Slice index 67. Image width 240 mm. Image size 240x240.
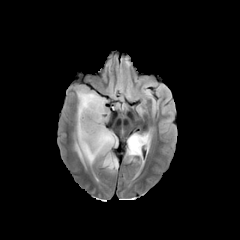
FLAIR MRI.
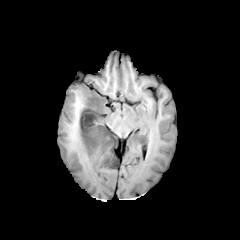
T1-weighted magnetic resonance.
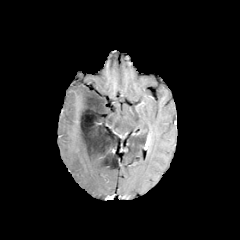
Post-contrast T1-weighted magnetic resonance.
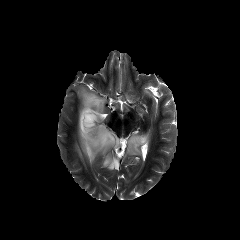
T2-weighted magnetic resonance.
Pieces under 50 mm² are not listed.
2 necrotic tumor core regions are located at 80, 95, 115, 151; 106, 158, 117, 167. The 2 largest peritumoral edema regions are bounded by 75, 88, 117, 170; 127, 133, 149, 160.